Head, Slice 126/155, Axial view
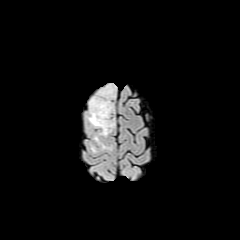
FLAIR MR image.
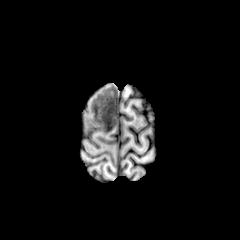
T1-weighted MR image.
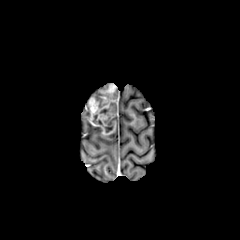
Same slice, post-contrast T1-weighted magnetic resonance.
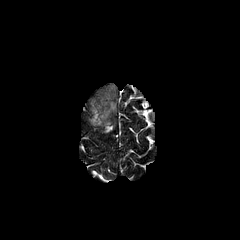
T2-weighted magnetic resonance of the same slice.
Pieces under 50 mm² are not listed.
Annotated regions:
• peritumoral edema: box(94, 127, 110, 148)
• necrotic tumor core: box(105, 118, 113, 132)
• enhancing tumor: box(87, 84, 116, 135)